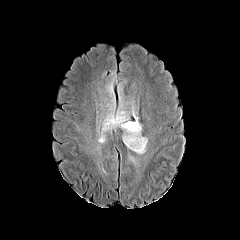
FLAIR magnetic resonance.
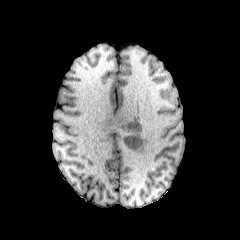
T1-weighted magnetic resonance.
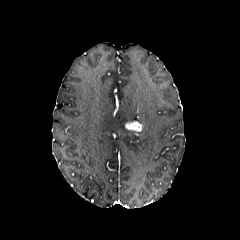
Post-contrast T1-weighted MR.
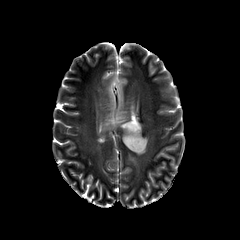
Same slice, T2-weighted MR.
Brain
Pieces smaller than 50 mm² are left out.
The 3 largest peritumoral edema regions appear at 131 102 137 120, 105 76 116 110, 98 110 147 154. The enhancing tumor is bounded by 125 121 142 134.